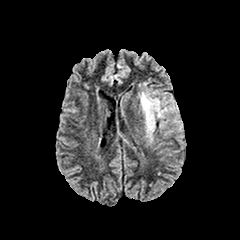
FLAIR MRI.
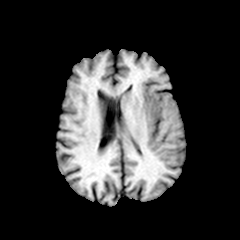
T1-weighted MRI of the same slice.
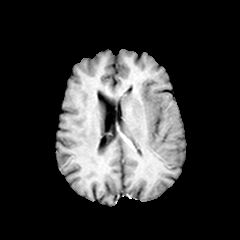
Post-contrast T1-weighted magnetic resonance of the same slice.
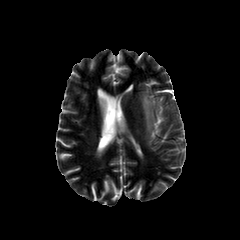
T2-weighted MR.
240x240
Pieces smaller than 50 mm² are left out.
The largest peritumoral edema region lies within 139,92,167,139.